FLAIR MR image.
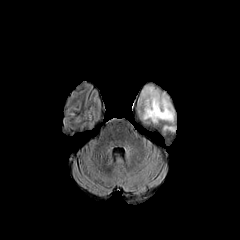
T1-weighted magnetic resonance.
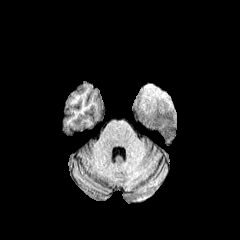
Post-contrast T1-weighted magnetic resonance.
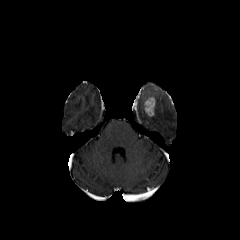
T2-weighted MR image.
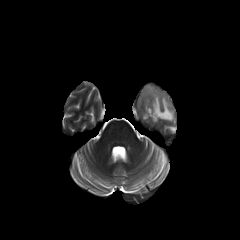
240x240 | Brain
Segmented structures:
- peritumoral edema: [140, 86, 174, 122], [164, 126, 175, 131]
- enhancing tumor: [144, 97, 155, 116]